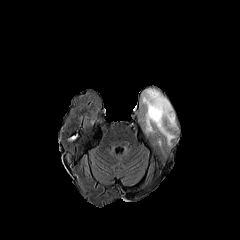
FLAIR MR.
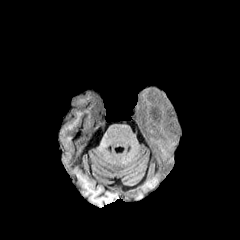
Same slice, T1-weighted MRI.
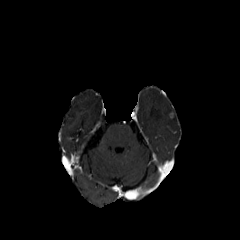
Post-contrast T1-weighted MRI.
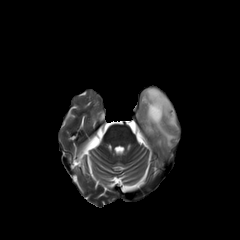
T2-weighted magnetic resonance.
Axial plane, 240x240
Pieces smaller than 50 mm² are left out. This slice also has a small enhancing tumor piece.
{"peritumoral_edema": ["bbox=[141, 88, 177, 146]"]}